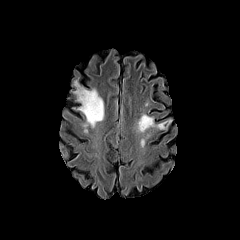
FLAIR MRI.
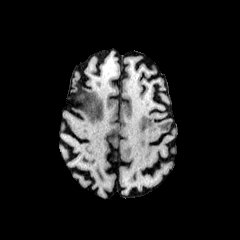
T1-weighted magnetic resonance.
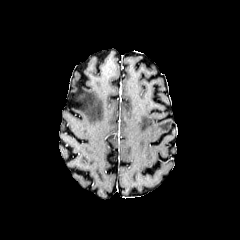
Post-contrast T1-weighted MRI.
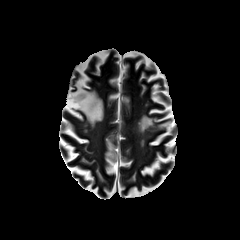
Same slice, T2-weighted MR image.
Axial view. 240x240 px.
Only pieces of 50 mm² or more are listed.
Annotated regions:
• peritumoral edema: (left=137, top=114, right=172, bottom=131), (left=72, top=77, right=104, bottom=132)